FLAIR MR.
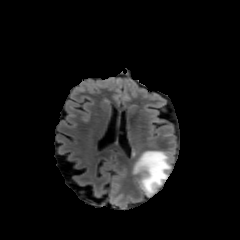
T1-weighted magnetic resonance.
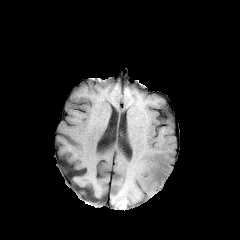
Post-contrast T1-weighted MRI.
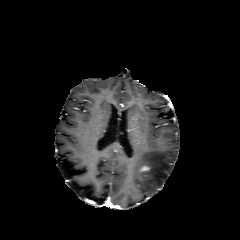
T2-weighted MR image.
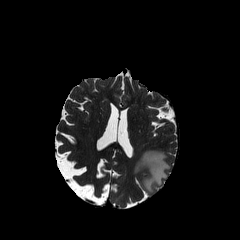
Head
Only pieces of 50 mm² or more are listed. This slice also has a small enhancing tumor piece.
The peritumoral edema appears at bbox=[133, 150, 171, 196].